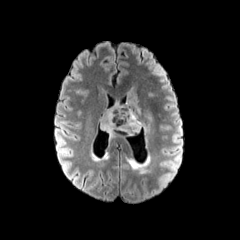
FLAIR MR image.
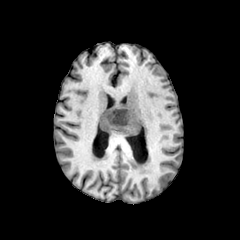
T1-weighted MR.
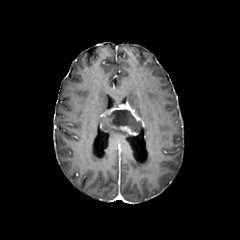
Post-contrast T1-weighted magnetic resonance.
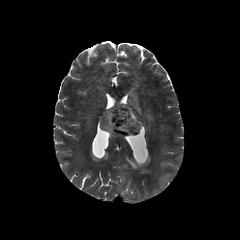
Same slice, T2-weighted MRI.
Head
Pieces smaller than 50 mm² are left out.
The enhancing tumor is located at (left=103, top=102, right=144, bottom=135). The 2 largest peritumoral edema regions appear at (left=127, top=98, right=140, bottom=116), (left=100, top=117, right=128, bottom=137). The necrotic tumor core is bounded by (left=110, top=109, right=141, bottom=131).